FLAIR MR image.
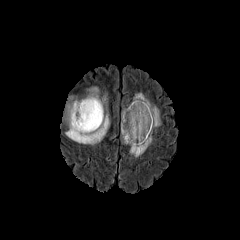
T1-weighted magnetic resonance.
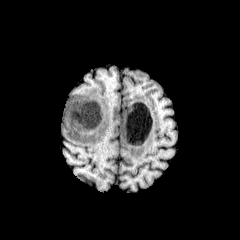
Post-contrast T1-weighted magnetic resonance.
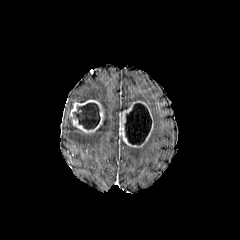
T2-weighted MR.
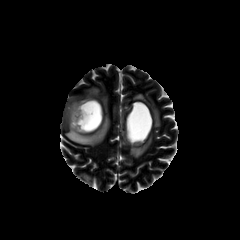
Image size 240x240 | Brain
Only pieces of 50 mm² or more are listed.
necrotic tumor core: 73, 103, 100, 129; 124, 103, 151, 145
peritumoral edema: 76, 87, 106, 108; 65, 109, 109, 145; 133, 93, 160, 128; 130, 134, 152, 157
enhancing tumor: 120, 101, 153, 147; 66, 99, 103, 133